Axial plane.
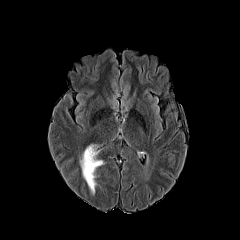
FLAIR MRI.
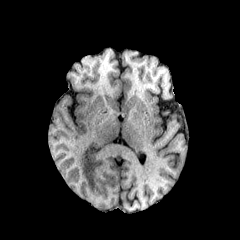
T1-weighted MRI.
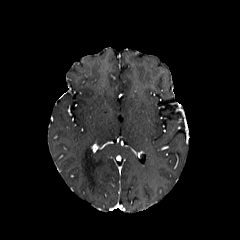
Post-contrast T1-weighted MR.
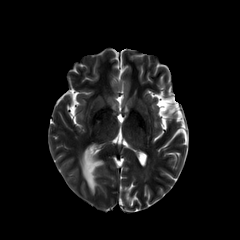
T2-weighted magnetic resonance.
peritumoral_edema:
  - rect(80, 146, 103, 194)